FLAIR MRI.
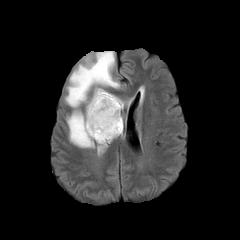
T1-weighted MRI.
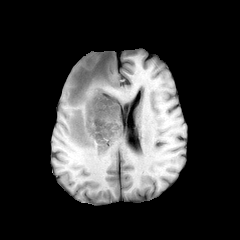
Post-contrast T1-weighted MR image.
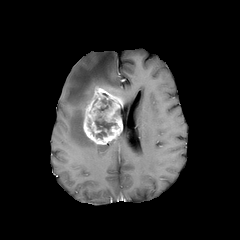
T2-weighted MR image.
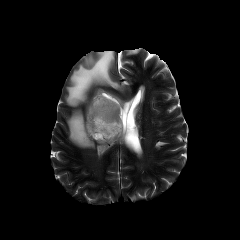
Head; 240x240 px
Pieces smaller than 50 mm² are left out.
peritumoral edema = rect(65, 51, 120, 148)
necrotic tumor core = rect(95, 119, 116, 138)
enhancing tumor = rect(83, 86, 123, 144)